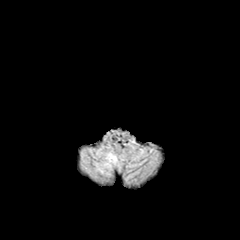
FLAIR magnetic resonance.
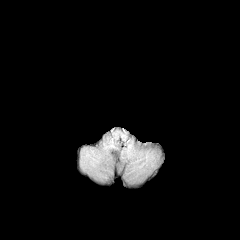
T1-weighted magnetic resonance.
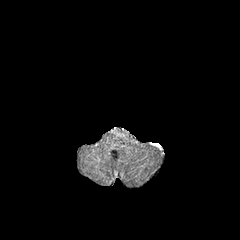
Same slice, post-contrast T1-weighted magnetic resonance.
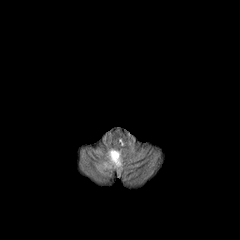
Same slice, T2-weighted MR.
Axial slice | Brain
peritumoral edema at 97 150 121 173